Image width 240 mm
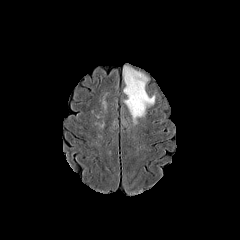
FLAIR MR.
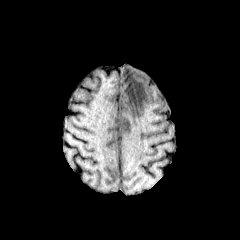
T1-weighted MR.
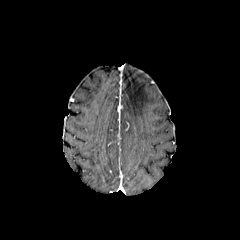
Post-contrast T1-weighted magnetic resonance.
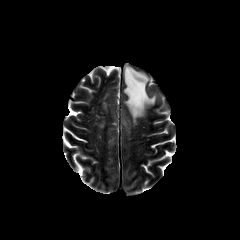
T2-weighted MRI.
The peritumoral edema lies within 123, 64, 155, 126.